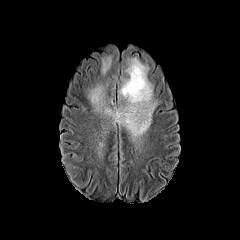
FLAIR magnetic resonance.
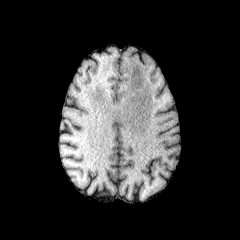
Same slice, T1-weighted MR image.
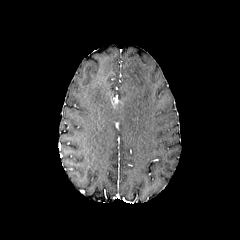
Post-contrast T1-weighted MR image.
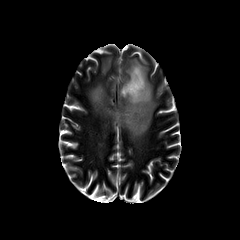
Same slice, T2-weighted MRI.
240x240, Brain, Axial plane
peritumoral edema at bbox=[90, 86, 104, 110]; bbox=[102, 58, 110, 73]; bbox=[104, 58, 156, 137]